FLAIR MR image.
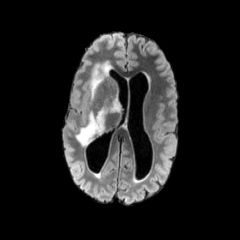
T1-weighted MR image.
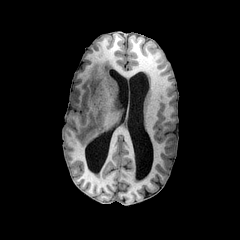
Post-contrast T1-weighted MRI.
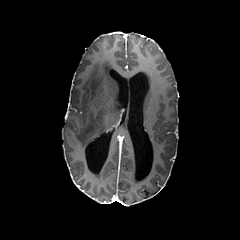
T2-weighted MR image.
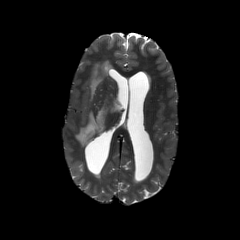
Head; 240x240
Annotated regions:
* peritumoral edema: box(89, 61, 112, 100); box(76, 98, 120, 146)